FLAIR MR image.
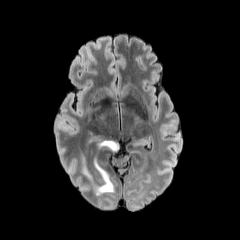
T1-weighted MRI.
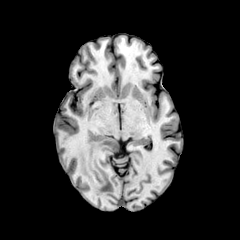
Post-contrast T1-weighted MR.
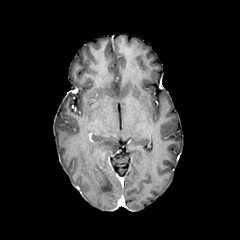
T2-weighted magnetic resonance.
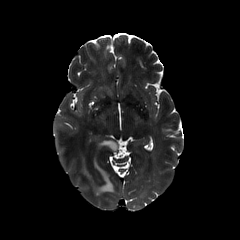
Axial slice
{"peritumoral_edema": ["left=82, top=156, right=113, bottom=194", "left=98, top=140, right=118, bottom=150"]}